FLAIR MRI.
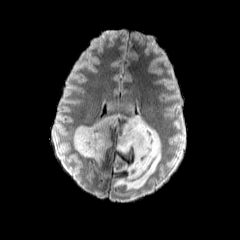
T1-weighted MR.
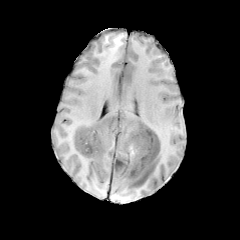
Post-contrast T1-weighted magnetic resonance.
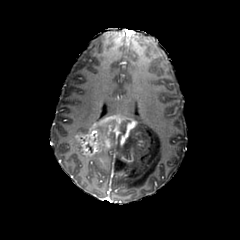
T2-weighted MR.
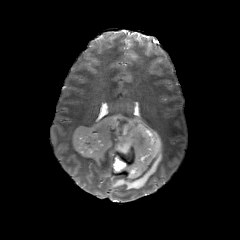
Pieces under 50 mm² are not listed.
necrotic tumor core: bounding box 119 119 130 142
peritumoral edema: bounding box 75 125 89 133, 93 150 103 161, 103 99 161 189
enhancing tumor: bounding box 73 114 137 157